FLAIR magnetic resonance.
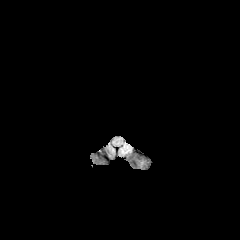
T1-weighted magnetic resonance.
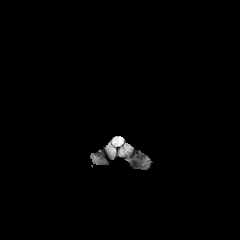
Post-contrast T1-weighted MRI.
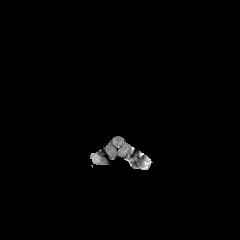
T2-weighted MR.
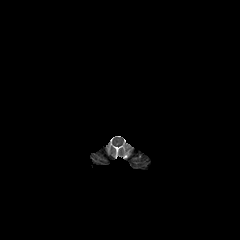
peritumoral edema: (left=120, top=145, right=131, bottom=155)